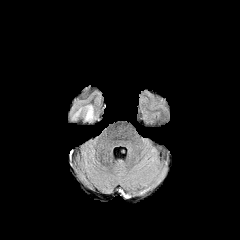
FLAIR MRI.
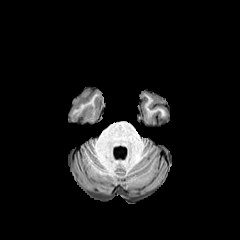
T1-weighted MR image.
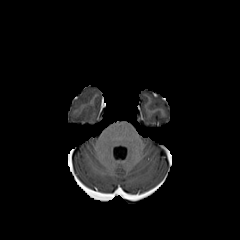
Post-contrast T1-weighted MRI.
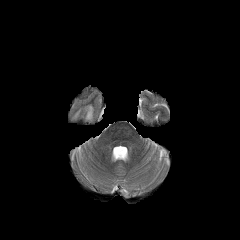
Same slice, T2-weighted magnetic resonance.
240x240 px.
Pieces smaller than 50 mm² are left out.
<segmentation>
  <peritumoral_edema>box=[85, 105, 92, 120]</peritumoral_edema>
</segmentation>